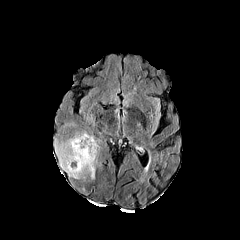
FLAIR MR image.
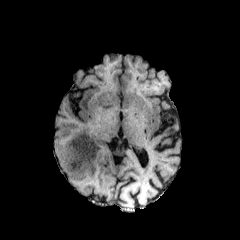
T1-weighted MR.
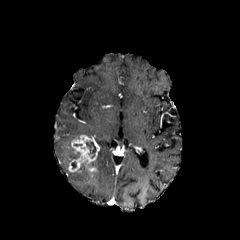
Post-contrast T1-weighted magnetic resonance.
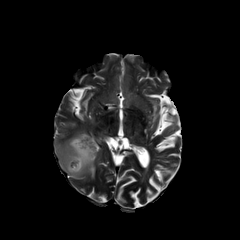
T2-weighted MR image.
Brain, Axial view
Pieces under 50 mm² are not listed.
Findings:
• necrotic tumor core: box(86, 140, 97, 155); box(69, 152, 79, 169)
• enhancing tumor: box(69, 135, 98, 171)
• peritumoral edema: box(56, 132, 96, 179)